FLAIR MR image.
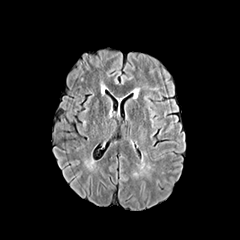
T1-weighted MR image.
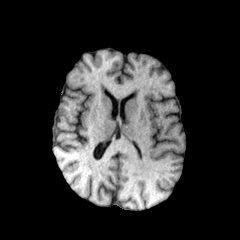
Post-contrast T1-weighted magnetic resonance.
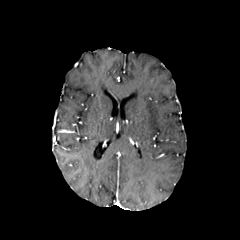
T2-weighted magnetic resonance.
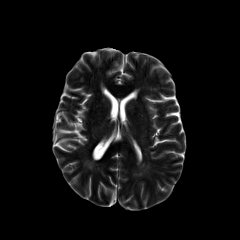
Axial plane | Image size 240x240 | Brain
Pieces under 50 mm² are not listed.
Findings:
• peritumoral edema: x1=140 y1=161 x2=150 y2=171